Image width 240 mm | Brain
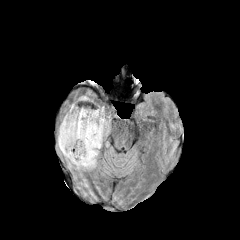
FLAIR magnetic resonance.
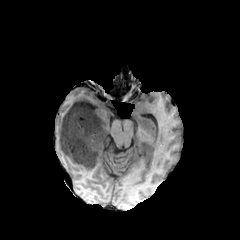
T1-weighted MR of the same slice.
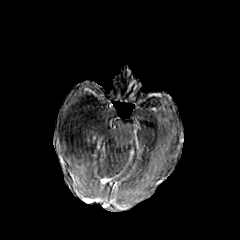
Post-contrast T1-weighted magnetic resonance.
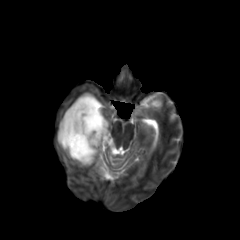
T2-weighted MR image.
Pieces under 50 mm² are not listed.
enhancing_tumor:
  - x1=92 y1=138 x2=101 y2=158
peritumoral_edema:
  - x1=58 y1=116 x2=97 y2=169
  - x1=66 y1=92 x2=108 y2=148
necrotic_tumor_core:
  - x1=61 y1=112 x2=100 y2=162